FLAIR magnetic resonance.
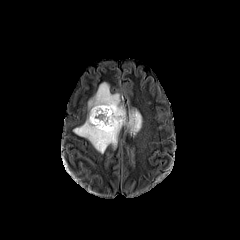
T1-weighted MR image.
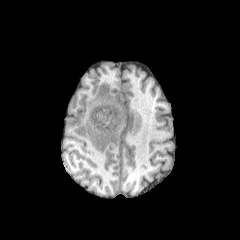
Post-contrast T1-weighted MR image.
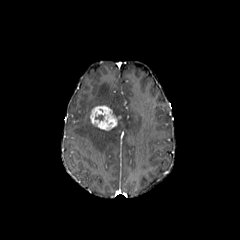
T2-weighted magnetic resonance.
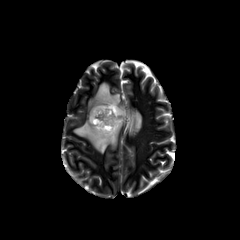
Head, Image size 240x240
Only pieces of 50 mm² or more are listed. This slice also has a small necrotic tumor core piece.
enhancing tumor: bbox(90, 105, 121, 130) | peritumoral edema: bbox(73, 82, 142, 153)